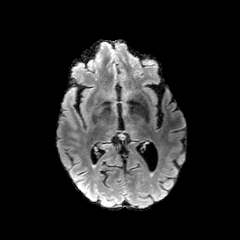
FLAIR MRI.
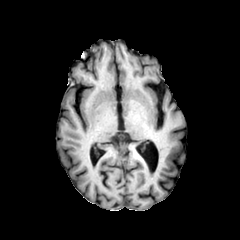
T1-weighted MR.
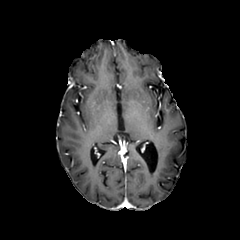
Post-contrast T1-weighted MR.
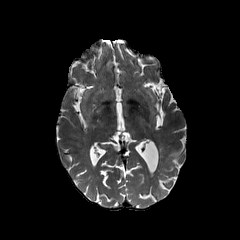
T2-weighted magnetic resonance.
Image size 240x240
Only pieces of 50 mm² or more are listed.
* peritumoral edema: 98:143:110:149